240x240 | Axial slice
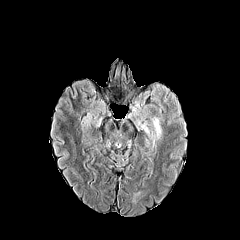
FLAIR magnetic resonance.
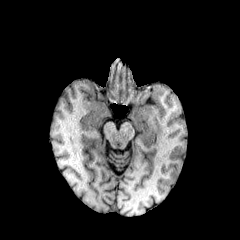
T1-weighted magnetic resonance.
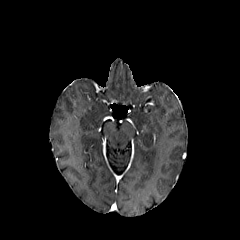
Same slice, post-contrast T1-weighted MR.
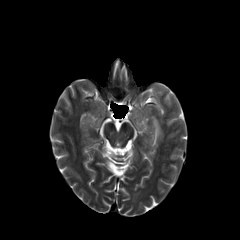
Same slice, T2-weighted MR.
The peritumoral edema is located at <box>153,118,161,138</box>.